Brain | Image covers 240 mm x 240 mm
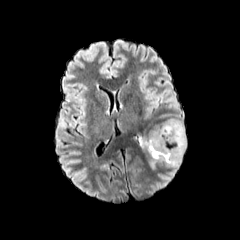
FLAIR MRI.
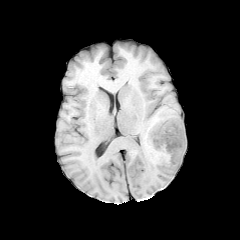
T1-weighted MR image of the same slice.
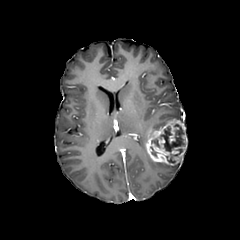
Same slice, post-contrast T1-weighted magnetic resonance.
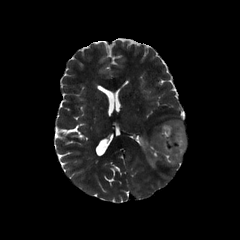
T2-weighted MR image.
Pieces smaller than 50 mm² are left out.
The 2 largest peritumoral edema regions are bounded by [139, 136, 147, 153], [149, 122, 165, 132]. The enhancing tumor is located at [145, 119, 187, 165]. The 2 largest necrotic tumor core regions are bounded by [160, 124, 183, 151], [166, 149, 182, 162].